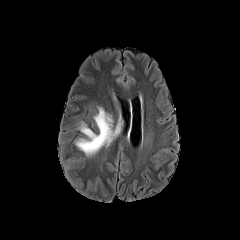
FLAIR MR image.
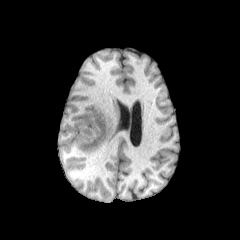
Same slice, T1-weighted MR.
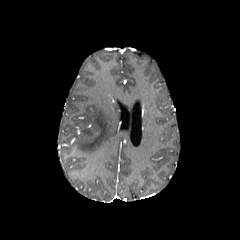
Same slice, post-contrast T1-weighted MR image.
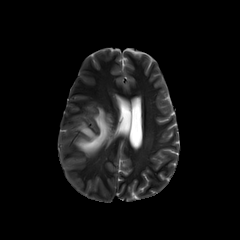
T2-weighted MRI.
peritumoral edema: 76:107:122:155